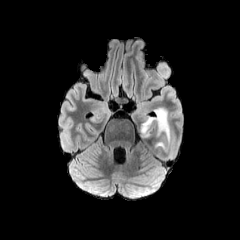
FLAIR MRI.
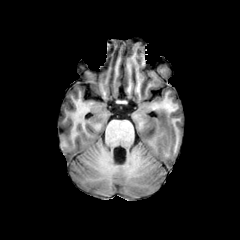
T1-weighted MR.
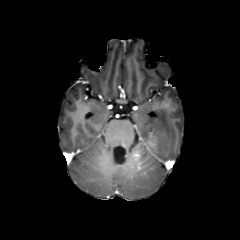
Post-contrast T1-weighted MR image.
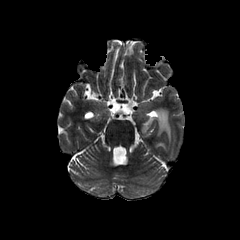
T2-weighted MRI of the same slice.
Head
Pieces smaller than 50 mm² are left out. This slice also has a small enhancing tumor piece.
<segmentation>
  <peritumoral_edema>region(140, 106, 170, 149)</peritumoral_edema>
</segmentation>